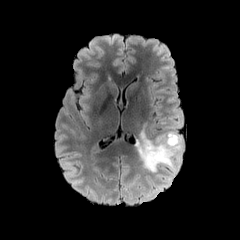
FLAIR MR.
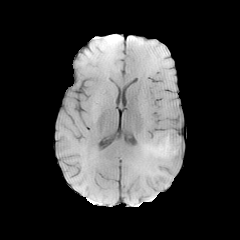
T1-weighted magnetic resonance of the same slice.
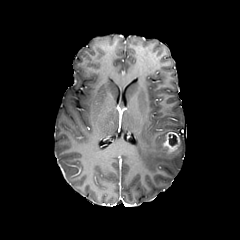
Post-contrast T1-weighted MRI.
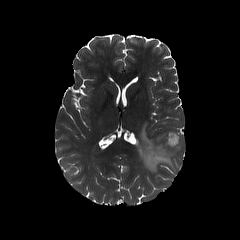
T2-weighted MRI.
Axial view, 240x240, Head
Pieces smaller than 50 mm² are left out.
necrotic tumor core: region(169, 134, 177, 145) | enhancing tumor: region(163, 132, 180, 154) | peritumoral edema: region(135, 124, 183, 174)